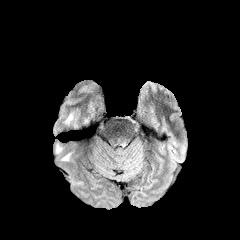
FLAIR MRI.
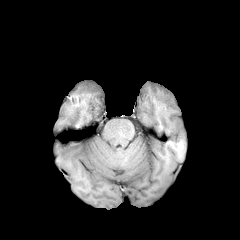
T1-weighted magnetic resonance of the same slice.
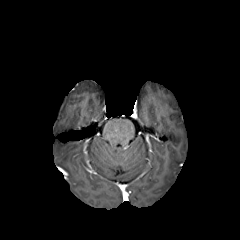
Same slice, post-contrast T1-weighted MR.
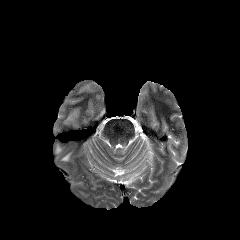
Same slice, T2-weighted MR.
Brain, Axial view
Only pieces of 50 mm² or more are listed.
<segmentation>
  <peritumoral_edema>65, 113, 73, 123</peritumoral_edema>
</segmentation>